FLAIR magnetic resonance.
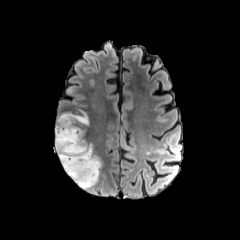
T1-weighted magnetic resonance.
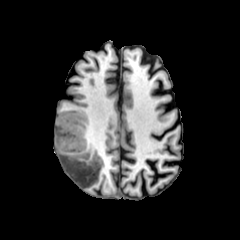
Post-contrast T1-weighted magnetic resonance.
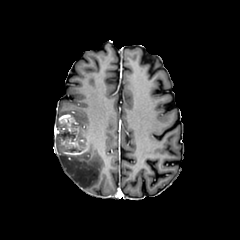
T2-weighted MR.
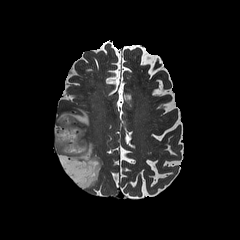
240x240 px.
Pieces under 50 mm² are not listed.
<segmentation>
  <peritumoral_edema>57, 109, 90, 140; 55, 136, 101, 188</peritumoral_edema>
  <necrotic_tumor_core>65, 146, 81, 152; 59, 127, 82, 141</necrotic_tumor_core>
  <enhancing_tumor>55, 114, 90, 156</enhancing_tumor>
</segmentation>